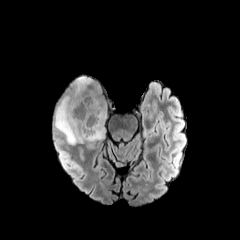
FLAIR MRI.
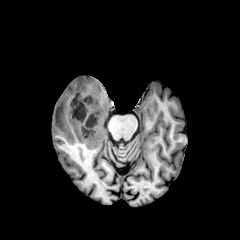
T1-weighted MRI.
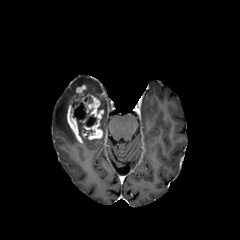
Post-contrast T1-weighted magnetic resonance of the same slice.
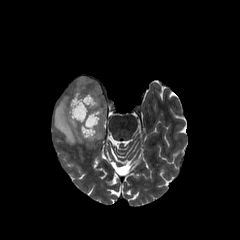
T2-weighted magnetic resonance.
Brain.
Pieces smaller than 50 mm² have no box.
enhancing_tumor:
  - [67,85,103,142]
peritumoral_edema:
  - [54,96,79,144]
  - [73,76,106,139]
necrotic_tumor_core:
  - [86,117,95,126]
  - [74,103,85,119]